Brain.
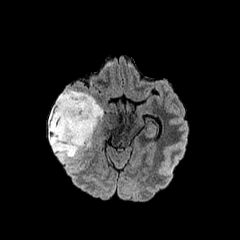
FLAIR MR image.
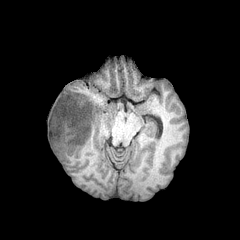
T1-weighted MR image.
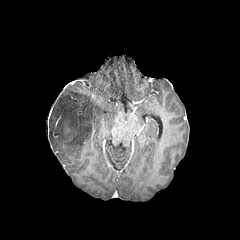
Post-contrast T1-weighted magnetic resonance of the same slice.
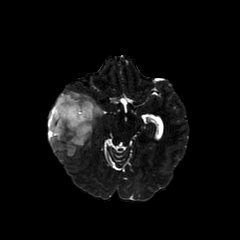
Same slice, T2-weighted MRI.
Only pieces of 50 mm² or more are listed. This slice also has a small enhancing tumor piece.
<segmentation>
  <peritumoral_edema>(x1=48, y1=90, x2=103, y2=160)</peritumoral_edema>
</segmentation>